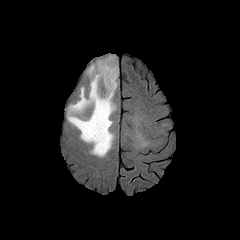
FLAIR MR.
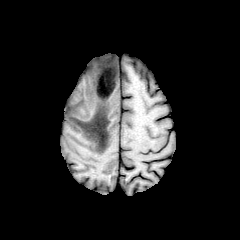
T1-weighted magnetic resonance of the same slice.
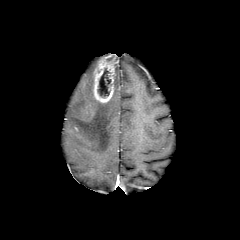
Post-contrast T1-weighted MR image.
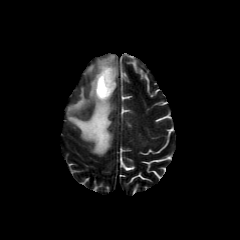
T2-weighted magnetic resonance.
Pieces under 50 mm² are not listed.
peritumoral edema: <box>67,60,118,156</box> | enhancing tumor: <box>93,54,118,102</box> | necrotic tumor core: <box>98,68,110,96</box>